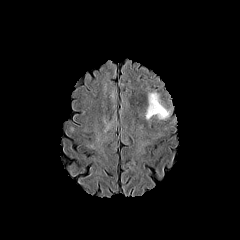
FLAIR MRI.
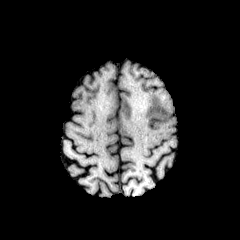
T1-weighted magnetic resonance.
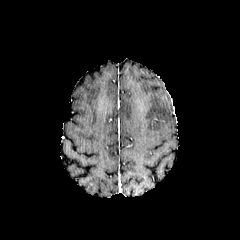
Post-contrast T1-weighted magnetic resonance.
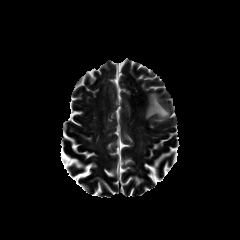
T2-weighted magnetic resonance.
Head. Image size 240x240.
peritumoral edema at bbox=[145, 92, 169, 119]